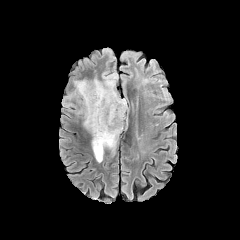
FLAIR magnetic resonance.
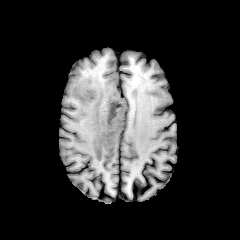
Same slice, T1-weighted MR.
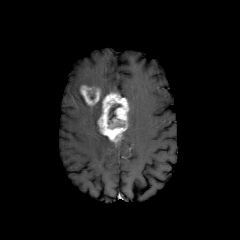
Same slice, post-contrast T1-weighted MR image.
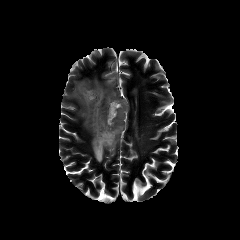
Same slice, T2-weighted magnetic resonance.
Axial slice. Image size 240x240.
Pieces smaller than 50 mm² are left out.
{
  "peritumoral_edema": [
    "left=74, top=80, right=88, bottom=97",
    "left=83, top=76, right=116, bottom=162"
  ],
  "enhancing_tumor": [
    "left=97, top=91, right=129, bottom=144",
    "left=80, top=85, right=101, bottom=108"
  ],
  "necrotic_tumor_core": [
    "left=107, top=102, right=124, bottom=128"
  ]
}